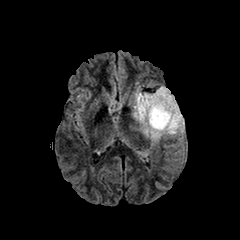
FLAIR MRI.
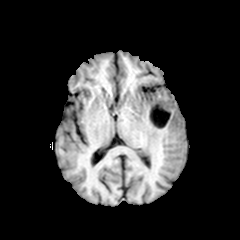
T1-weighted MR.
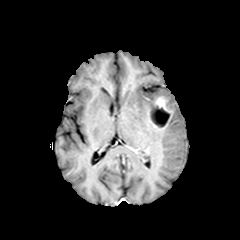
Same slice, post-contrast T1-weighted MRI.
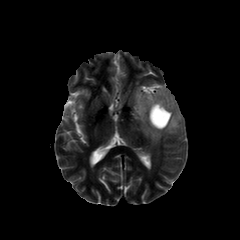
T2-weighted MRI.
Brain
The peritumoral edema lies within 132, 86, 184, 145. The enhancing tumor appears at 147, 97, 172, 129. The necrotic tumor core appears at 149, 106, 170, 127.